Image size 240x240
FLAIR MRI.
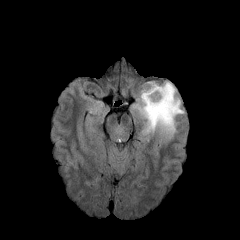
T1-weighted MR.
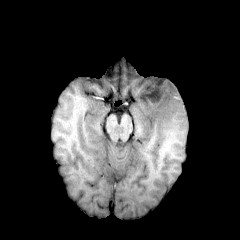
Post-contrast T1-weighted magnetic resonance.
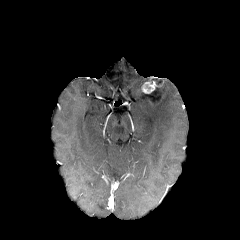
T2-weighted MRI.
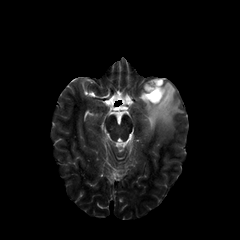
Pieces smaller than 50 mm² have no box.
Segmented structures:
* enhancing tumor: rect(147, 83, 167, 104); rect(142, 81, 161, 95)
* peritumoral edema: rect(132, 81, 184, 139); rect(160, 85, 165, 97)
* necrotic tumor core: rect(147, 87, 160, 102)